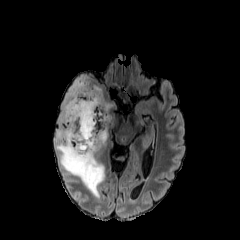
FLAIR MRI.
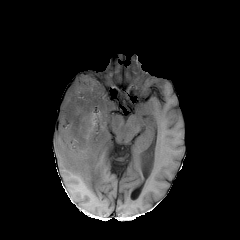
T1-weighted MR image of the same slice.
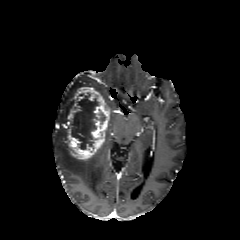
Post-contrast T1-weighted MRI of the same slice.
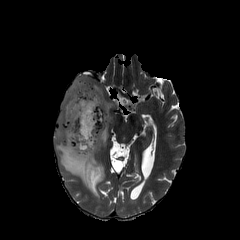
T2-weighted MR image.
240x240 px
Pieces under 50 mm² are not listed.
necrotic tumor core: bounding box 71 93 105 149
peritumoral edema: bounding box 56 75 104 197
enhancing tumor: bounding box 67 87 110 159